Image covers 240 mm x 240 mm; Brain
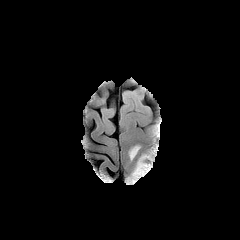
FLAIR MRI.
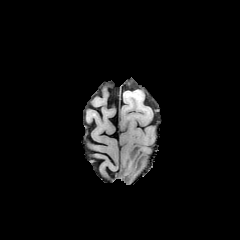
Same slice, T1-weighted magnetic resonance.
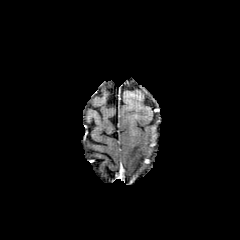
Same slice, post-contrast T1-weighted MRI.
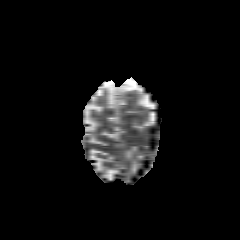
T2-weighted MR image.
peritumoral edema: <box>126,155,147,182</box>, <box>128,146,139,160</box>